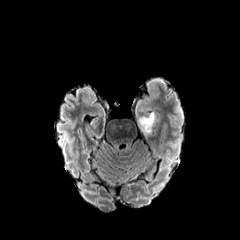
FLAIR MR.
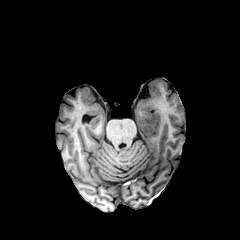
T1-weighted magnetic resonance of the same slice.
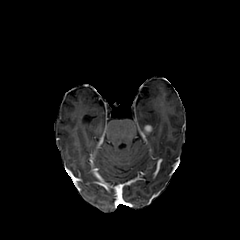
Post-contrast T1-weighted magnetic resonance of the same slice.
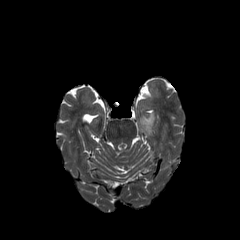
T2-weighted MR of the same slice.
240x240; Axial plane; Head
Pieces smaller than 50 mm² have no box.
peritumoral edema at x1=138 y1=113 x2=155 y2=132
enhancing tumor at x1=144 y1=125 x2=152 y2=133